Slice 61/155. Axial slice.
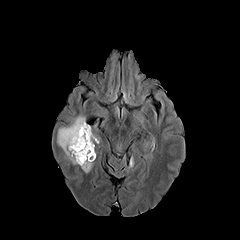
FLAIR MR image.
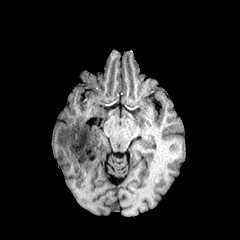
T1-weighted MR of the same slice.
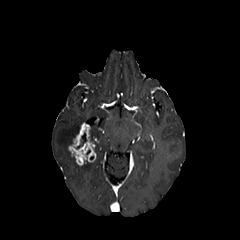
Post-contrast T1-weighted MR image.
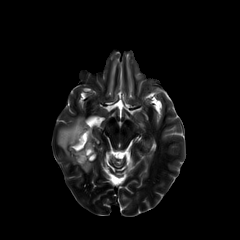
T2-weighted MR.
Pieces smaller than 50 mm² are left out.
enhancing tumor: x1=68 y1=122 x2=96 y2=165 | necrotic tumor core: x1=76 y1=133 x2=86 y2=149 | peritumoral edema: x1=134 y1=66 x2=143 y2=77, x1=90 y1=129 x2=99 y2=141, x1=81 y1=161 x2=92 y2=172, x1=57 y1=115 x2=85 y2=164